FLAIR magnetic resonance.
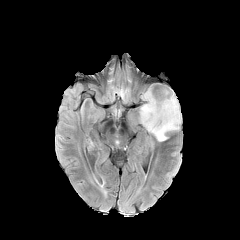
T1-weighted MR image.
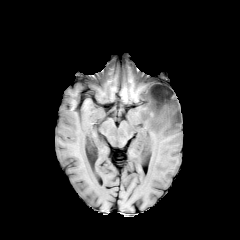
Post-contrast T1-weighted MR.
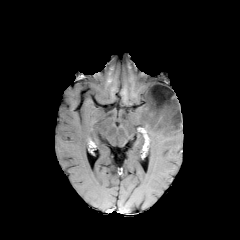
T2-weighted MR image.
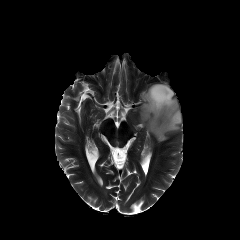
Axial plane
peritumoral edema: bbox(139, 86, 181, 141) | necrotic tumor core: bbox(148, 84, 175, 114)